Slice 92 of 155. Image width 240 mm. Head.
FLAIR MR image.
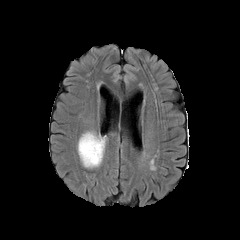
T1-weighted magnetic resonance.
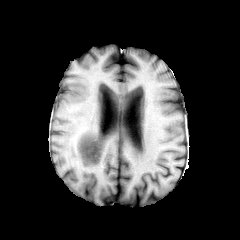
Post-contrast T1-weighted MR image.
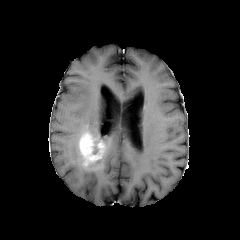
T2-weighted magnetic resonance.
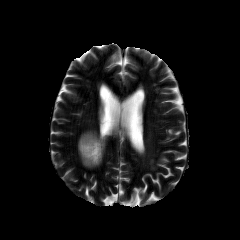
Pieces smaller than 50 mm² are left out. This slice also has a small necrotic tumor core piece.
peritumoral edema = [77, 141, 82, 164], [85, 151, 104, 168], [81, 131, 106, 144]
enhancing tumor = [79, 133, 105, 166]